Head; Axial slice; Slice index 38
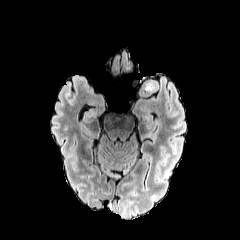
FLAIR MRI.
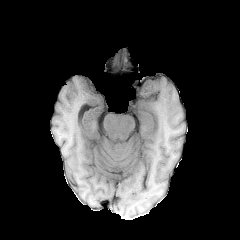
T1-weighted MRI of the same slice.
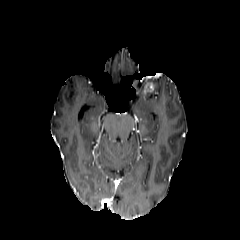
Post-contrast T1-weighted MR image of the same slice.
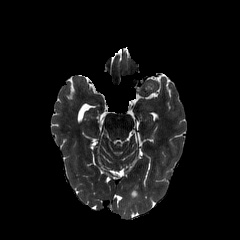
T2-weighted MRI.
The enhancing tumor appears at 144 84 153 92.